FLAIR magnetic resonance.
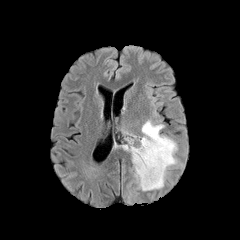
T1-weighted MR.
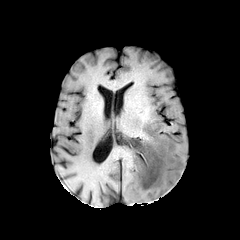
Post-contrast T1-weighted MR.
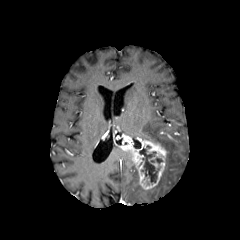
T2-weighted MR.
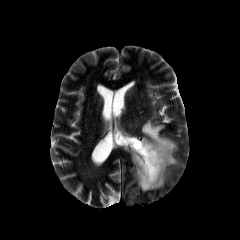
Brain. Axial slice. 240x240.
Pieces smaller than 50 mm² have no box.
The 2 largest necrotic tumor core regions appear at [x1=139, y1=148, x2=159, y2=182], [x1=132, y1=138, x2=141, y2=148]. The largest peritumoral edema region is at [x1=134, y1=120, x2=177, y2=191]. The enhancing tumor appears at [x1=121, y1=136, x2=167, y2=189].